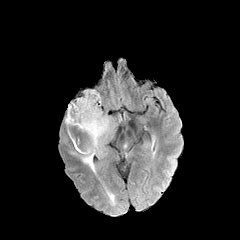
FLAIR MRI.
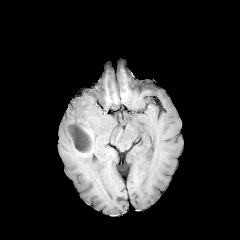
T1-weighted MRI.
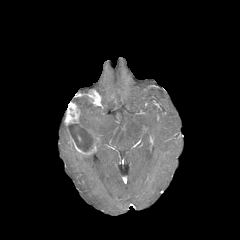
Post-contrast T1-weighted MRI of the same slice.
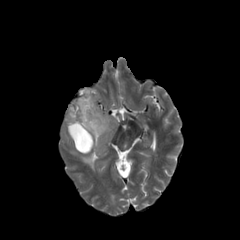
T2-weighted MR image.
Axial slice, Image size 240x240, Head
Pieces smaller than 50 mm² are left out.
peritumoral_edema:
  - <bbox>73, 96, 113, 171</bbox>
enhancing_tumor:
  - <bbox>79, 90, 100, 105</bbox>
  - <bbox>64, 102, 96, 154</bbox>
necrotic_tumor_core:
  - <bbox>68, 124, 92, 151</bbox>